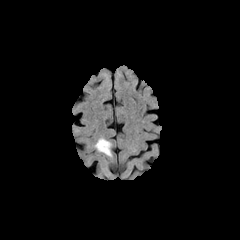
FLAIR MR.
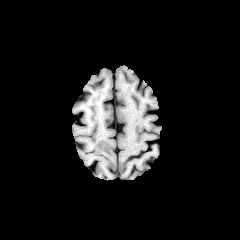
T1-weighted MR.
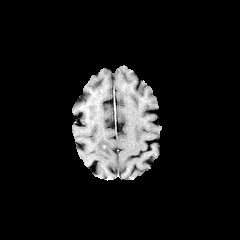
Post-contrast T1-weighted MR image.
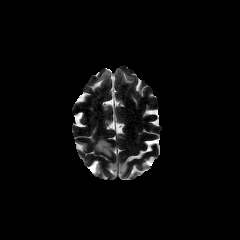
T2-weighted MR of the same slice.
Head | Axial plane
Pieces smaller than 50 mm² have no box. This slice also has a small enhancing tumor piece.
Findings:
• peritumoral edema: x1=94 y1=138 x2=112 y2=156